Slice index 118
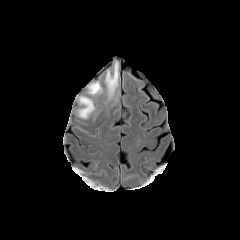
FLAIR MRI.
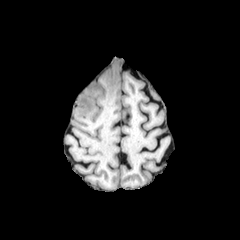
T1-weighted magnetic resonance.
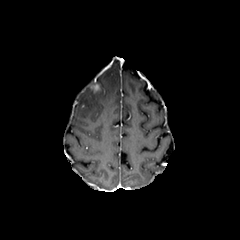
Post-contrast T1-weighted MRI of the same slice.
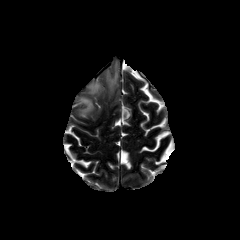
Same slice, T2-weighted MRI.
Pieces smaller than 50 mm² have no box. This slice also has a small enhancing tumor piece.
Annotated regions:
• peritumoral edema: 88 82 102 95, 105 61 119 99, 77 96 95 118